FLAIR MR.
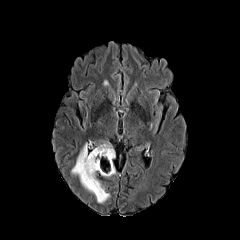
T1-weighted MRI.
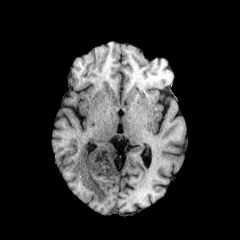
Post-contrast T1-weighted MRI.
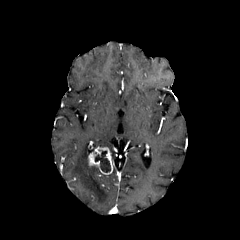
T2-weighted MRI.
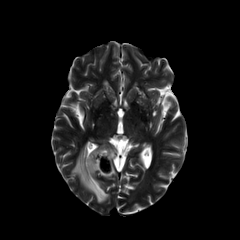
Axial plane
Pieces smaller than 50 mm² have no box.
peritumoral_edema:
  - x1=100 y1=163 x2=115 y2=176
  - x1=94 y1=141 x2=115 y2=158
  - x1=71 y1=142 x2=110 y2=203
enhancing_tumor:
  - x1=88 y1=147 x2=113 y2=174
necrotic_tumor_core:
  - x1=95 y1=150 x2=110 y2=172